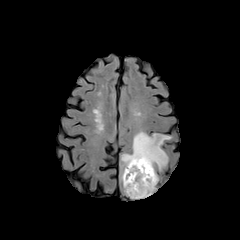
FLAIR MR.
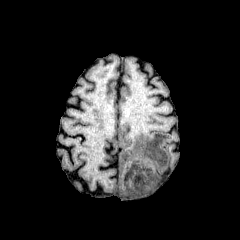
T1-weighted MR of the same slice.
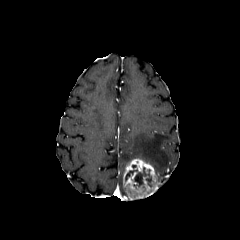
Post-contrast T1-weighted magnetic resonance of the same slice.
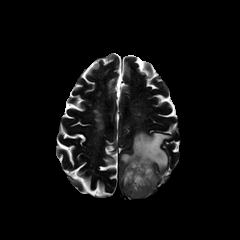
T2-weighted MRI.
Brain.
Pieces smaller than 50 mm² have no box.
{"enhancing_tumor": ["[x1=123, y1=158, x2=157, y2=199]"], "necrotic_tumor_core": ["[x1=133, y1=167, x2=151, y2=186]", "[x1=125, y1=170, x2=137, y2=180]"], "peritumoral_edema": ["[x1=120, y1=131, x2=171, y2=181]"]}